Image size 240x240. Axial slice. Head.
FLAIR magnetic resonance.
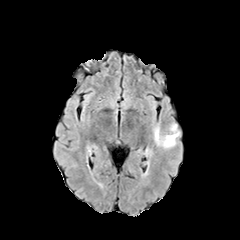
T1-weighted MR.
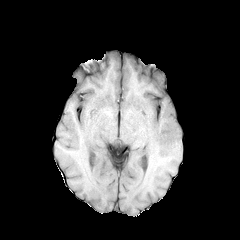
Post-contrast T1-weighted MRI.
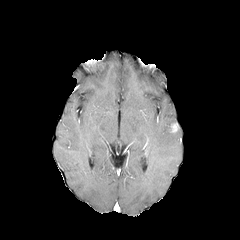
T2-weighted MRI.
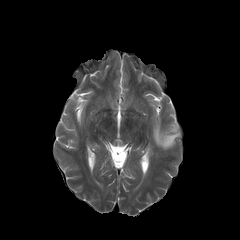
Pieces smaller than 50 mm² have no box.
enhancing tumor — 170,123,178,133
peritumoral edema — 153,123,180,149